240x240 px | Slice 36/155 | Image width 240 mm, 1.00 mm slice spacing
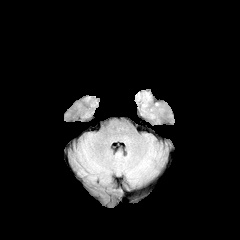
FLAIR magnetic resonance.
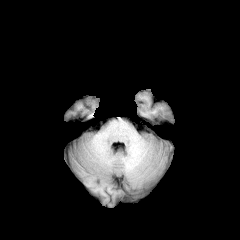
T1-weighted magnetic resonance.
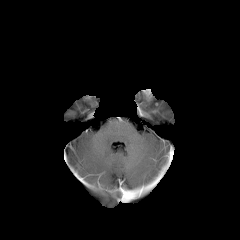
Post-contrast T1-weighted MR image.
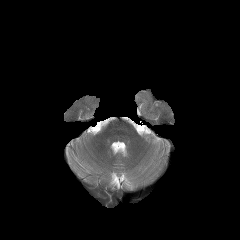
T2-weighted MR.
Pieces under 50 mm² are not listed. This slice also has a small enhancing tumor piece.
The peritumoral edema is located at (x1=136, y1=89, x2=150, y2=109).